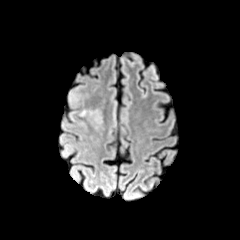
FLAIR MR image.
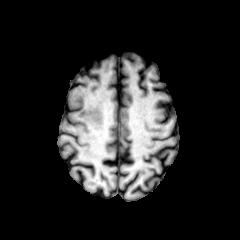
Same slice, T1-weighted magnetic resonance.
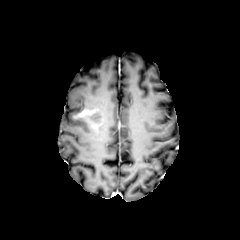
Post-contrast T1-weighted MR.
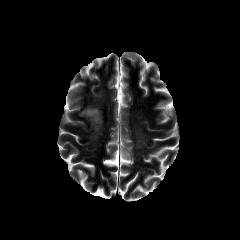
T2-weighted magnetic resonance.
Axial plane, Brain
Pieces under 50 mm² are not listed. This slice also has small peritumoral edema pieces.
Findings:
* enhancing tumor: 79 110 93 116